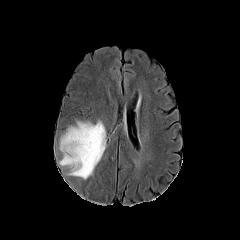
FLAIR MR image.
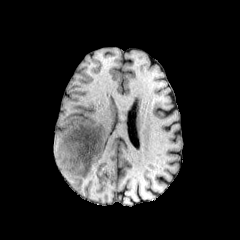
T1-weighted MR image.
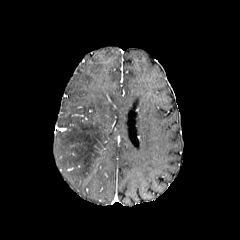
Same slice, post-contrast T1-weighted magnetic resonance.
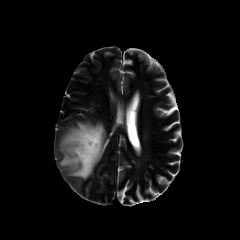
T2-weighted MR image.
Axial view | Image size 240x240
The peritumoral edema is located at region(59, 122, 105, 179).